Axial plane | 240x240 px | Brain | Image width 240 mm, 1.00 mm slice spacing
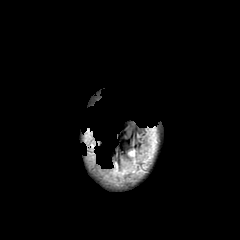
FLAIR magnetic resonance.
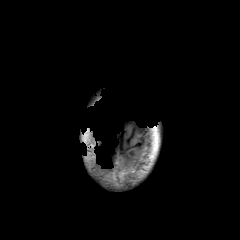
T1-weighted magnetic resonance.
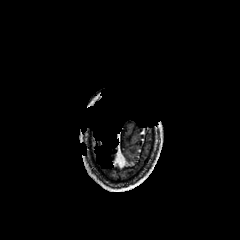
Post-contrast T1-weighted MRI.
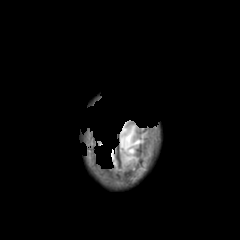
T2-weighted MR image of the same slice.
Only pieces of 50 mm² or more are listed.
peritumoral edema: bounding box x1=122, y1=149, x2=138, y2=173